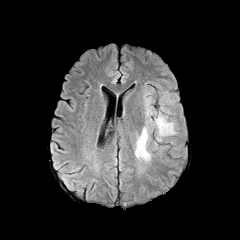
FLAIR MR.
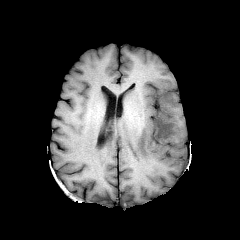
T1-weighted MR.
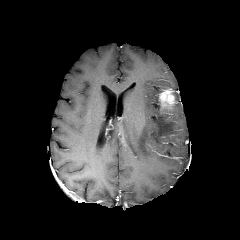
Post-contrast T1-weighted magnetic resonance.
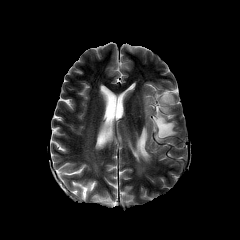
T2-weighted magnetic resonance of the same slice.
Head
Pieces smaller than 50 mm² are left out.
{"enhancing_tumor": ["bbox(159, 89, 175, 110)"], "peritumoral_edema": ["bbox(144, 97, 152, 117)", "bbox(154, 108, 176, 141)", "bbox(134, 126, 151, 161)"]}